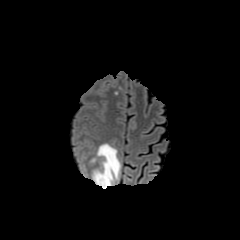
FLAIR MR.
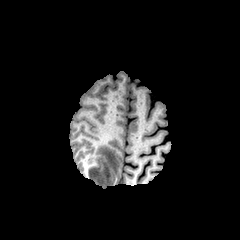
T1-weighted MRI.
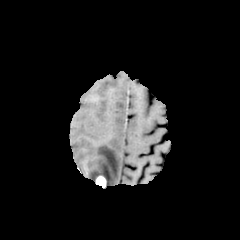
Post-contrast T1-weighted MR of the same slice.
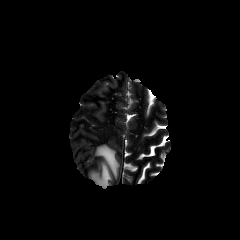
T2-weighted MR.
Axial view; 240x240 px
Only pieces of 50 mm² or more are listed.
The enhancing tumor is at 96:176:106:187. The largest peritumoral edema region is at 91:144:121:188.